240x240 px
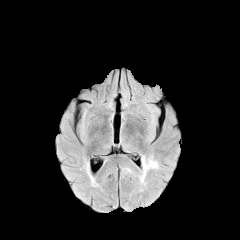
FLAIR MR image.
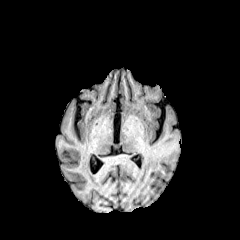
T1-weighted MR image of the same slice.
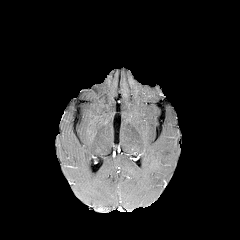
Same slice, post-contrast T1-weighted MRI.
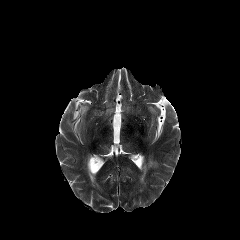
T2-weighted magnetic resonance of the same slice.
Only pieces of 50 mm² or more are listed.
{
  "peritumoral_edema": [
    "x1=138, y1=156, x2=158, y2=185"
  ]
}